FLAIR MRI.
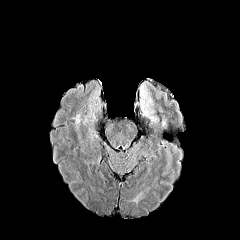
T1-weighted MRI.
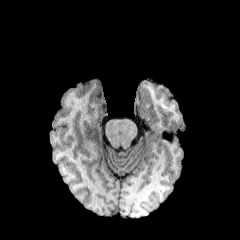
Post-contrast T1-weighted MR.
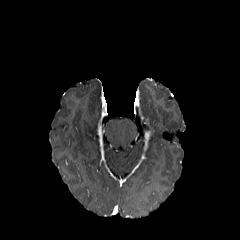
T2-weighted magnetic resonance.
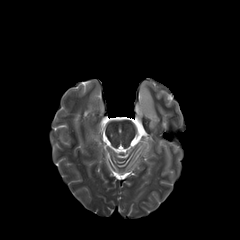
peritumoral edema: rect(140, 83, 155, 119)